FLAIR MR.
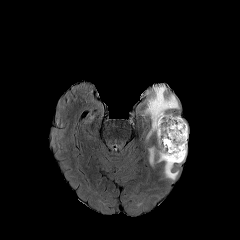
T1-weighted magnetic resonance.
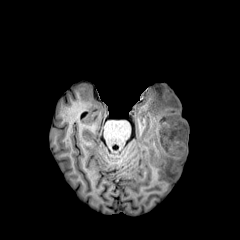
Post-contrast T1-weighted magnetic resonance.
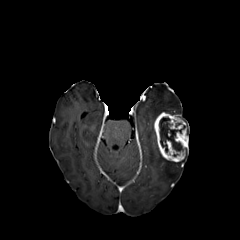
T2-weighted MR image.
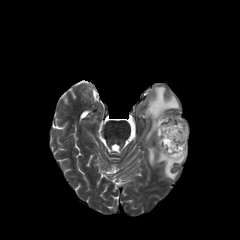
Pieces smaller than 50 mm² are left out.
The largest enhancing tumor region is at (left=154, top=112, right=188, bottom=162). The 3 largest peritumoral edema regions appear at (left=146, top=86, right=178, bottom=136), (left=158, top=151, right=177, bottom=179), (left=149, top=148, right=154, bottom=164). The largest necrotic tumor core region is at (left=159, top=117, right=182, bottom=152).